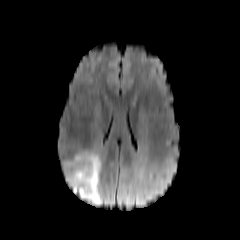
FLAIR magnetic resonance.
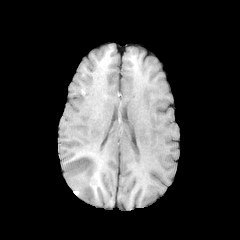
Same slice, T1-weighted MR.
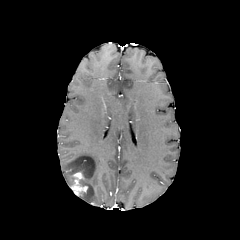
Post-contrast T1-weighted MRI.
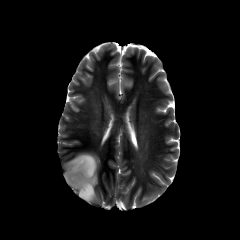
T2-weighted magnetic resonance.
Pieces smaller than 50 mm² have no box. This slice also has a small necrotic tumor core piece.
enhancing tumor = [x1=70, y1=172, x2=87, y2=195]
peritumoral edema = [x1=64, y1=152, x2=101, y2=204]